FLAIR magnetic resonance.
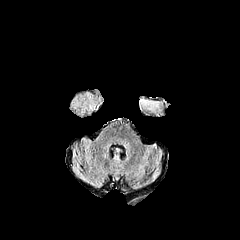
T1-weighted MR.
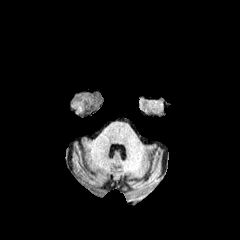
Post-contrast T1-weighted MR image.
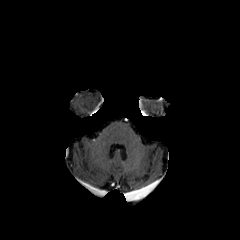
T2-weighted MR image.
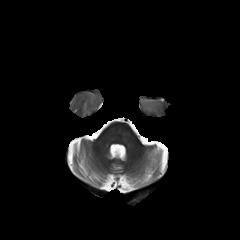
Image size 240x240; Axial slice
The peritumoral edema appears at x1=143 y1=102 x2=157 y2=110.